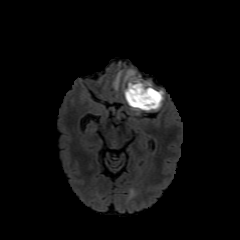
FLAIR MR.
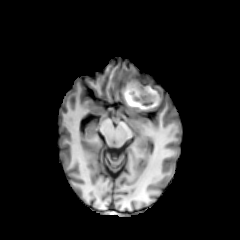
Same slice, T1-weighted MR image.
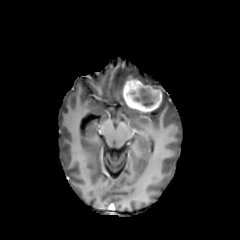
Same slice, post-contrast T1-weighted MR image.
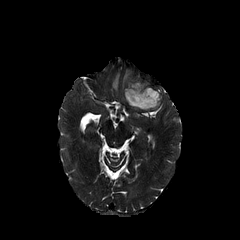
T2-weighted MR.
240x240, Axial slice
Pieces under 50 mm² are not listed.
peritumoral_edema:
  - x1=149, y1=81, x2=163, y2=109
  - x1=113, y1=71, x2=121, y2=90
  - x1=124, y1=69, x2=135, y2=84
enhancing_tumor:
  - x1=123, y1=74, x2=161, y2=111
necrotic_tumor_core:
  - x1=128, y1=87, x2=158, y2=107